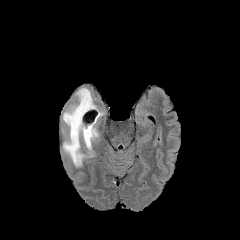
FLAIR MRI.
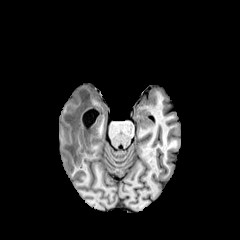
T1-weighted MRI.
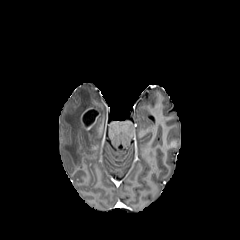
Post-contrast T1-weighted MR image.
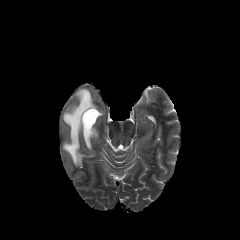
T2-weighted MR image.
Head
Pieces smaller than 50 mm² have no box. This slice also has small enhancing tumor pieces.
Segmented structures:
• peritumoral edema: (62, 88, 98, 166)